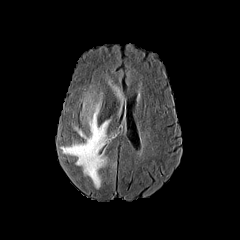
FLAIR magnetic resonance.
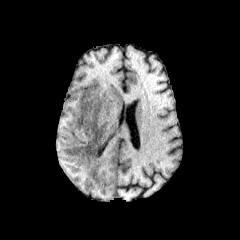
T1-weighted MR of the same slice.
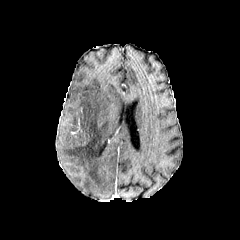
Post-contrast T1-weighted MRI.
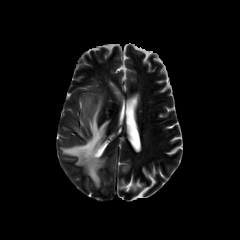
T2-weighted MR image.
Axial view | Image size 240x240
Annotated regions:
* peritumoral edema: (108, 80, 125, 107), (60, 91, 110, 188)